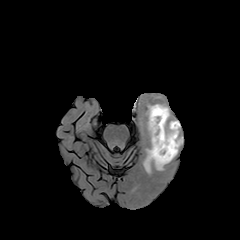
FLAIR MRI.
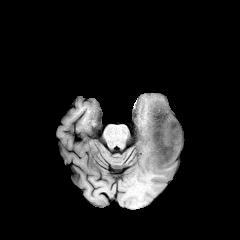
T1-weighted MRI of the same slice.
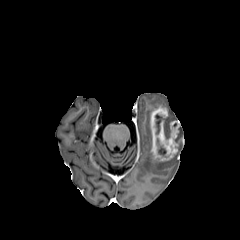
Post-contrast T1-weighted MRI.
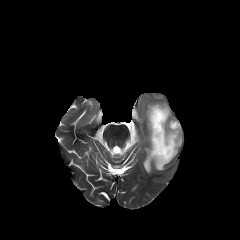
T2-weighted MR image.
Axial view; Head; 240x240
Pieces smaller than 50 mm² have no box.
{
  "necrotic_tumor_core": [
    "box(156, 115, 162, 132)"
  ],
  "peritumoral_edema": [
    "box(143, 103, 176, 173)"
  ],
  "enhancing_tumor": [
    "box(149, 105, 182, 161)"
  ]
}